240x240 px. Head. Image width 240 mm, 1.00 mm slice spacing.
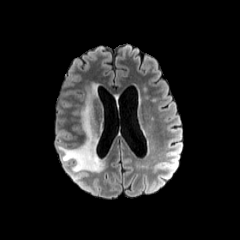
FLAIR MR.
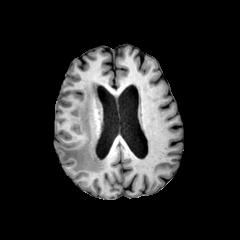
T1-weighted magnetic resonance.
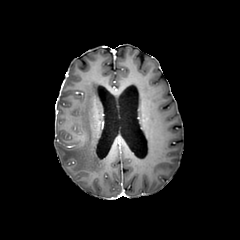
Same slice, post-contrast T1-weighted magnetic resonance.
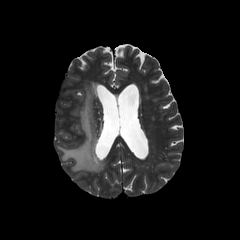
Same slice, T2-weighted MR image.
The peritumoral edema is at x1=58 y1=84 x2=104 y2=172.